FLAIR MR.
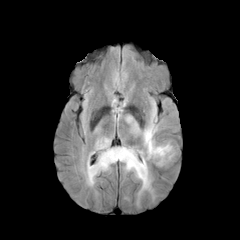
T1-weighted magnetic resonance.
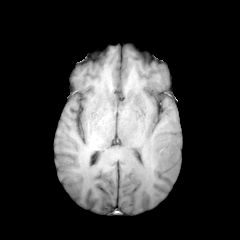
Post-contrast T1-weighted MR.
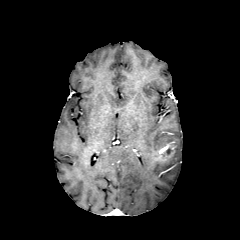
T2-weighted MR.
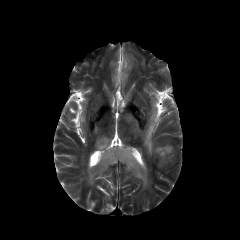
Axial slice.
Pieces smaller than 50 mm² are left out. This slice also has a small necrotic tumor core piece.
The enhancing tumor is located at (left=154, top=143, right=174, bottom=161). 2 peritumoral edema regions appear at (left=87, top=138, right=151, bottom=194), (left=143, top=108, right=176, bottom=166).